FLAIR MR image.
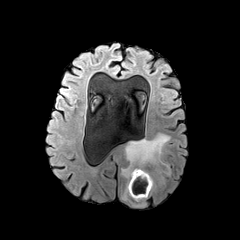
T1-weighted MR image.
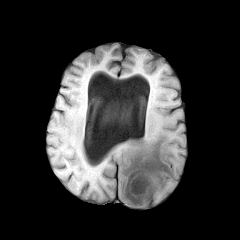
Post-contrast T1-weighted MR image.
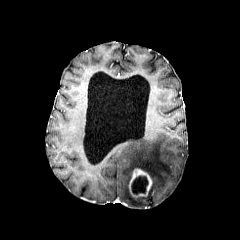
T2-weighted MR.
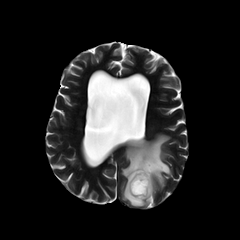
Axial plane. Image size 240x240.
enhancing tumor: bounding box l=128, t=168, r=152, b=197
peritumoral edema: bounding box l=122, t=134, r=171, b=206
necrotic tumor core: bounding box l=131, t=176, r=148, b=194